Image size 240x240. Axial slice. Head.
FLAIR magnetic resonance.
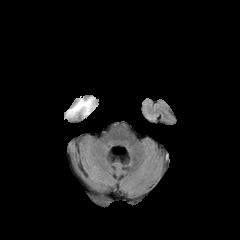
T1-weighted MRI.
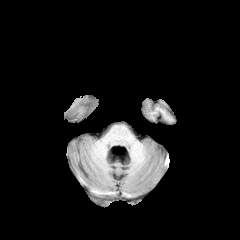
Post-contrast T1-weighted MR image.
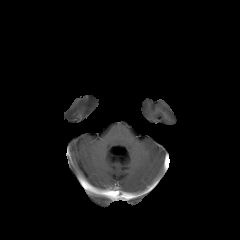
T2-weighted MR image.
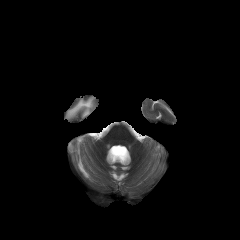
Findings:
* peritumoral edema: bbox(66, 97, 94, 117)